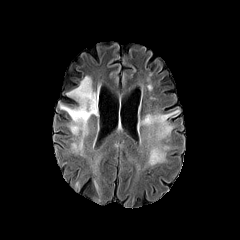
FLAIR MR.
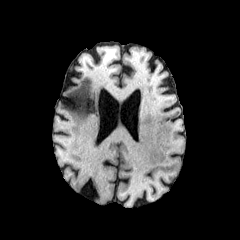
T1-weighted MR of the same slice.
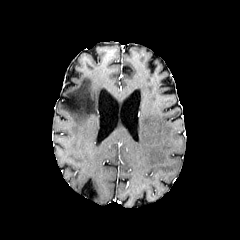
Post-contrast T1-weighted MR image.
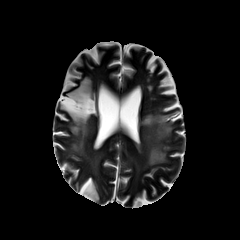
T2-weighted magnetic resonance.
240x240 px. Brain. Axial plane.
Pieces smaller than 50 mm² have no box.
peritumoral_edema:
  - (left=93, top=180, right=100, bottom=203)
  - (left=58, top=76, right=98, bottom=157)
  - (left=140, top=110, right=178, bottom=138)
  - (left=75, top=181, right=80, bottom=191)
  - (left=149, top=146, right=169, bottom=165)